FLAIR MR image.
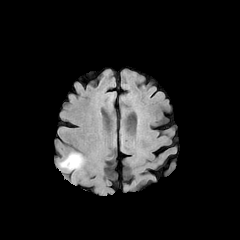
T1-weighted MRI.
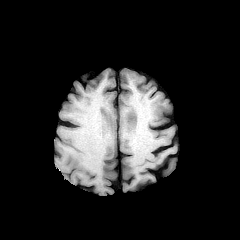
Post-contrast T1-weighted magnetic resonance.
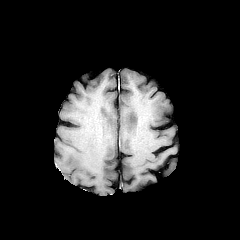
T2-weighted magnetic resonance.
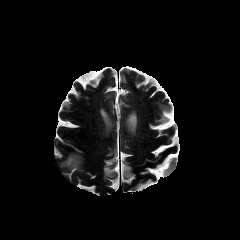
Head
The peritumoral edema is located at rect(60, 154, 82, 169).